FLAIR MR image.
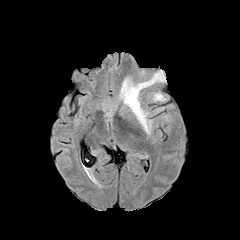
T1-weighted MRI.
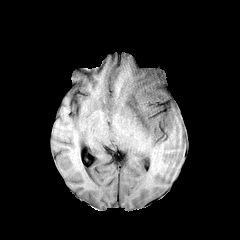
Post-contrast T1-weighted MRI.
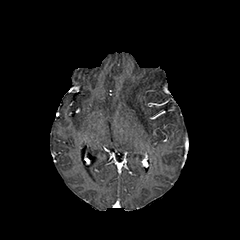
T2-weighted MRI.
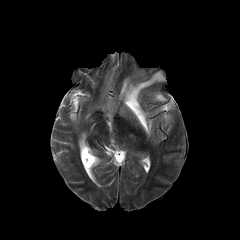
Axial view
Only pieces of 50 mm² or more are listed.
- peritumoral edema: box(153, 93, 165, 100); box(119, 71, 165, 134)